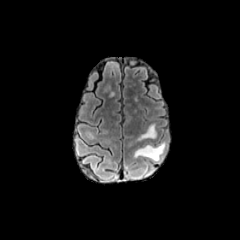
FLAIR MR image.
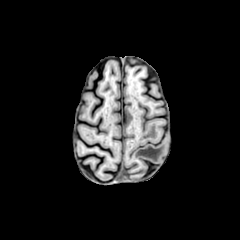
Same slice, T1-weighted magnetic resonance.
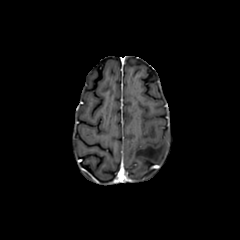
Post-contrast T1-weighted magnetic resonance.
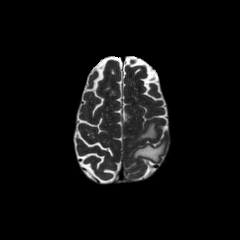
T2-weighted MRI.
Image size 240x240 | Brain | Axial slice
* peritumoral edema: (x1=137, y1=124, x2=156, y2=140), (x1=134, y1=142, x2=165, y2=161)